240x240 px. Axial view. Slice 93/155.
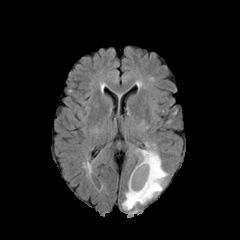
FLAIR MRI.
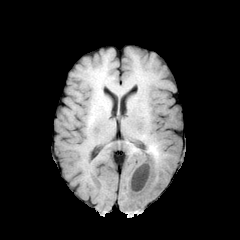
T1-weighted MRI.
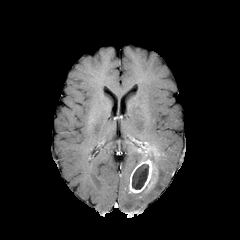
Post-contrast T1-weighted MRI.
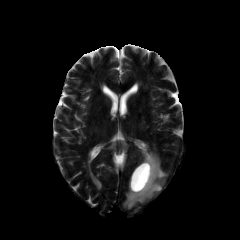
Same slice, T2-weighted MR image.
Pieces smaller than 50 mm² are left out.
The largest peritumoral edema region is located at 122 143 167 210. The largest necrotic tumor core region is located at 132 164 148 189. The 2 largest enhancing tumor regions appear at 138 148 148 157, 129 158 157 193.